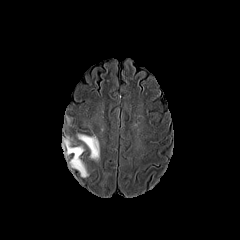
FLAIR magnetic resonance.
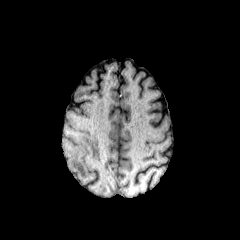
Same slice, T1-weighted MR image.
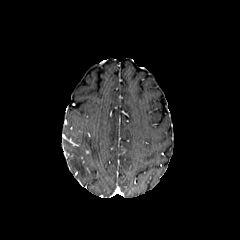
Post-contrast T1-weighted magnetic resonance.
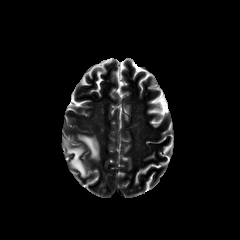
Same slice, T2-weighted MR.
Brain; 240x240 px
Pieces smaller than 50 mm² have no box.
The 2 largest peritumoral edema regions are located at [77, 134, 99, 160], [63, 139, 88, 177].